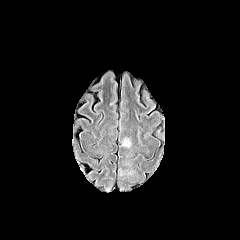
FLAIR MRI.
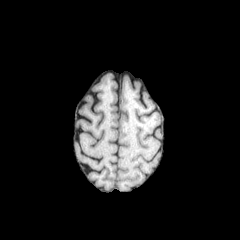
T1-weighted MR.
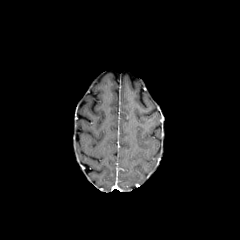
Post-contrast T1-weighted MRI.
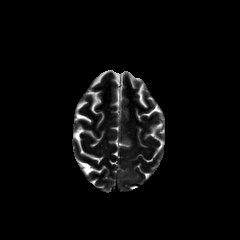
T2-weighted MR image of the same slice.
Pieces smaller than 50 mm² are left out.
peritumoral edema: (122,138,131,147)